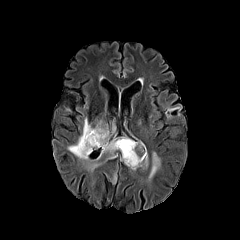
FLAIR MR image.
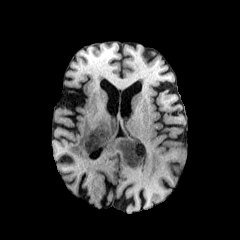
Same slice, T1-weighted MR.
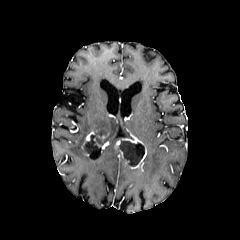
Post-contrast T1-weighted magnetic resonance of the same slice.
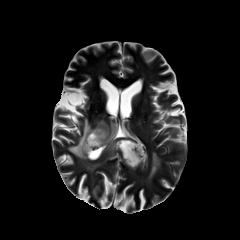
T2-weighted MR.
Head.
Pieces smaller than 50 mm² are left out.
necrotic_tumor_core:
  - {"x1": 83, "y1": 131, "x2": 106, "y2": 151}
  - {"x1": 118, "y1": 140, "x2": 144, "y2": 166}
peritumoral_edema:
  - {"x1": 99, "y1": 136, "x2": 118, "y2": 158}
  - {"x1": 143, "y1": 154, "x2": 148, "y2": 168}
  - {"x1": 88, "y1": 163, "x2": 99, "y2": 169}
  - {"x1": 68, "y1": 118, "x2": 109, "y2": 160}
  - {"x1": 110, "y1": 170, "x2": 117, "y2": 184}
  - {"x1": 148, "y1": 152, "x2": 160, "y2": 180}
enhancing_tumor:
  - {"x1": 121, "y1": 137, "x2": 146, "y2": 168}
  - {"x1": 82, "y1": 131, "x2": 94, "y2": 148}